Head, Image width 240 mm, 1.00 mm slice spacing, Slice 57 of 155, 240x240 px
FLAIR magnetic resonance.
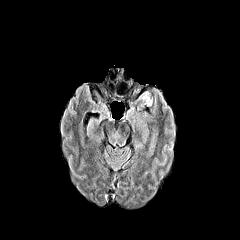
T1-weighted MR.
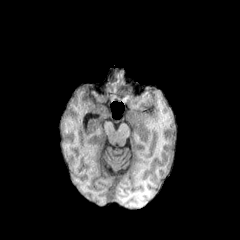
Post-contrast T1-weighted MR.
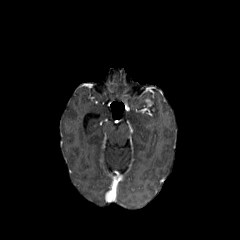
T2-weighted MRI.
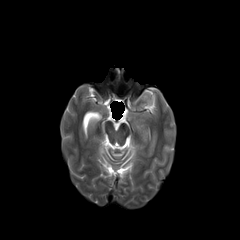
Annotated regions:
- peritumoral edema: (left=138, top=92, right=152, bottom=106)